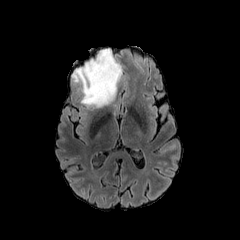
FLAIR MR.
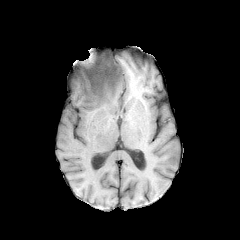
Same slice, T1-weighted MRI.
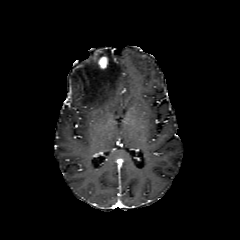
Post-contrast T1-weighted MR of the same slice.
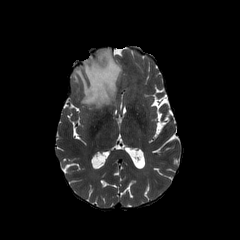
T2-weighted MR image.
Image size 240x240, Brain, Axial view
enhancing tumor at (left=97, top=56, right=108, bottom=69)
peritumoral edema at (left=72, top=48, right=122, bottom=107)